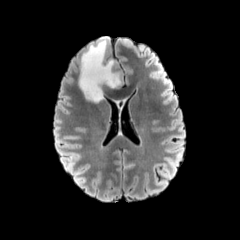
FLAIR MR image.
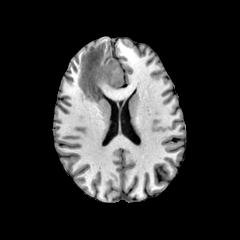
Same slice, T1-weighted MR image.
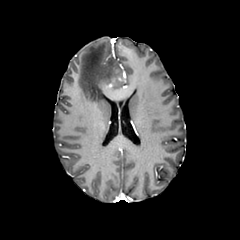
Post-contrast T1-weighted MRI of the same slice.
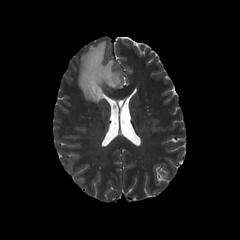
T2-weighted MR of the same slice.
Brain, Axial plane
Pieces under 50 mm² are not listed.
peritumoral edema: region(79, 37, 122, 102) | enhancing tumor: region(107, 79, 115, 90)